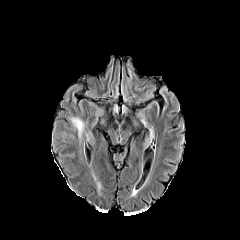
FLAIR MR.
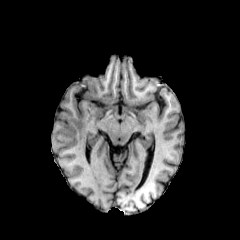
T1-weighted magnetic resonance.
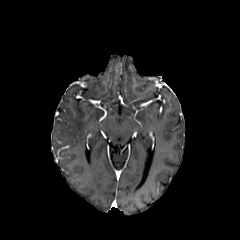
Post-contrast T1-weighted MRI.
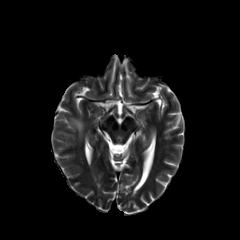
T2-weighted MR image.
Image size 240x240
peritumoral edema = <bbox>70, 118, 84, 139</bbox>